FLAIR MRI.
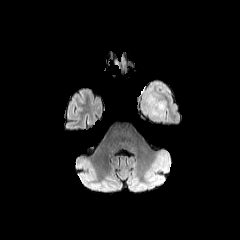
T1-weighted MR.
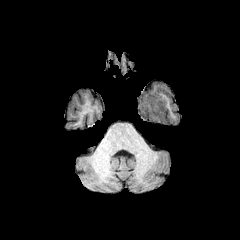
Post-contrast T1-weighted MR image.
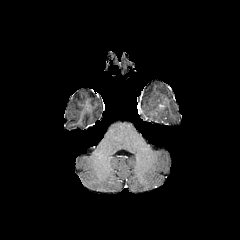
T2-weighted MR image.
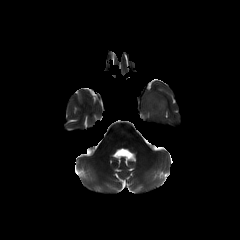
240x240.
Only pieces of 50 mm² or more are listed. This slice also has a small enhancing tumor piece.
peritumoral edema: [140, 92, 165, 121]